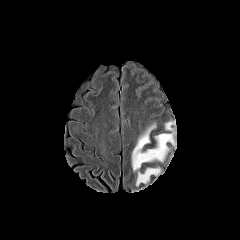
FLAIR MR image.
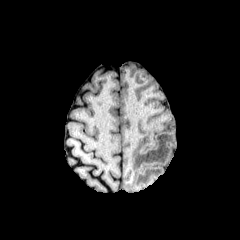
T1-weighted magnetic resonance of the same slice.
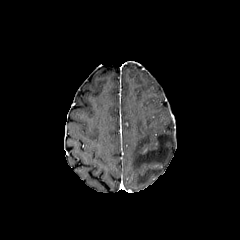
Same slice, post-contrast T1-weighted magnetic resonance.
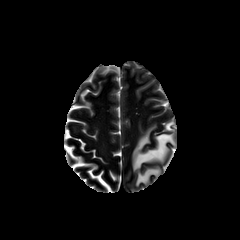
T2-weighted MR of the same slice.
Head
peritumoral edema at {"x1": 132, "y1": 124, "x2": 175, "y2": 186}, {"x1": 165, "y1": 121, "x2": 173, "y2": 131}